Slice 86/155
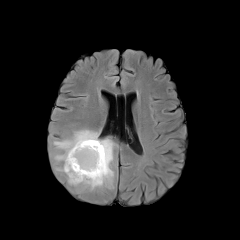
FLAIR MRI.
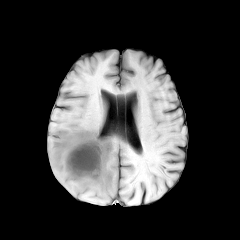
Same slice, T1-weighted MR.
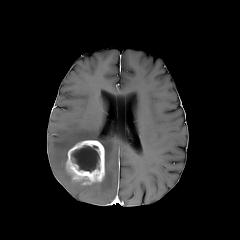
Post-contrast T1-weighted MRI.
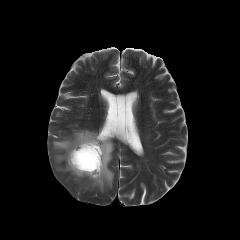
T2-weighted MR image.
The enhancing tumor is at bbox(66, 140, 104, 184). The necrotic tumor core is bounded by bbox(72, 146, 99, 172). The peritumoral edema lies within bbox(53, 129, 115, 190).